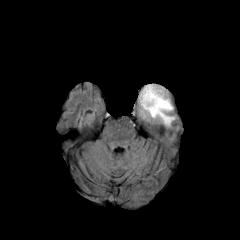
FLAIR MRI.
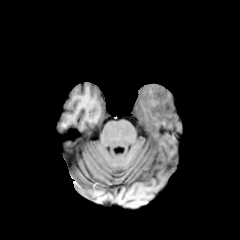
T1-weighted MR image of the same slice.
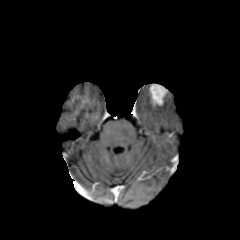
Post-contrast T1-weighted magnetic resonance.
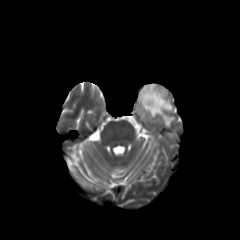
T2-weighted MR of the same slice.
peritumoral edema = 135:84:173:126
enhancing tumor = 149:83:168:105